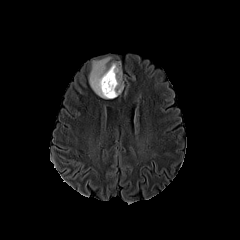
FLAIR MR.
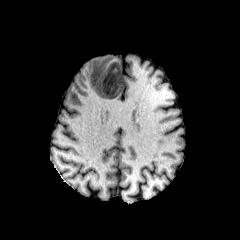
Same slice, T1-weighted MR image.
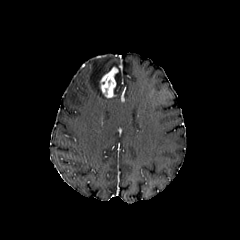
Post-contrast T1-weighted MRI.
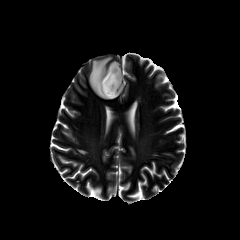
Same slice, T2-weighted magnetic resonance.
240x240 px. Axial plane.
The enhancing tumor is at left=100, top=66, right=118, bottom=97. The peritumoral edema lies within left=89, top=57, right=123, bottom=98.